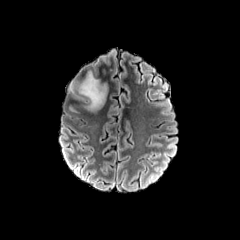
FLAIR magnetic resonance.
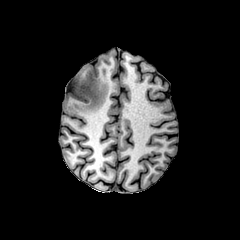
T1-weighted MRI of the same slice.
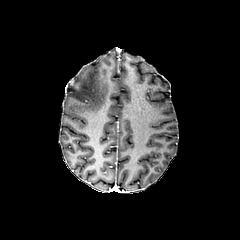
Post-contrast T1-weighted magnetic resonance of the same slice.
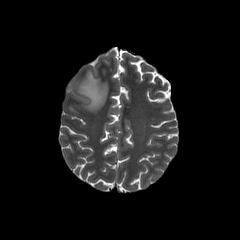
T2-weighted MR.
Axial slice.
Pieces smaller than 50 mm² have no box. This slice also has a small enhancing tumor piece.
peritumoral edema: bounding box l=68, t=71, r=107, b=110